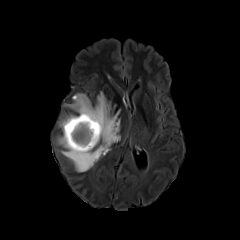
FLAIR MRI.
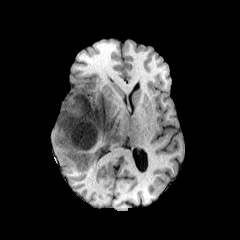
T1-weighted MRI.
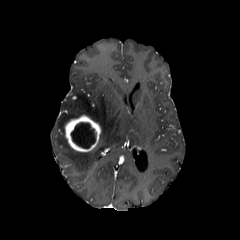
Post-contrast T1-weighted MR image.
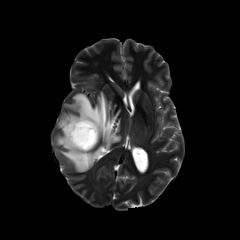
T2-weighted MR.
Head
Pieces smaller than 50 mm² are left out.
<segmentation>
  <enhancing_tumor>(left=64, top=115, right=101, bottom=152)</enhancing_tumor>
  <necrotic_tumor_core>(left=71, top=122, right=95, bottom=148)</necrotic_tumor_core>
  <peritumoral_edema>(left=57, top=92, right=120, bottom=172)</peritumoral_edema>
</segmentation>